Image covers 240 mm x 240 mm, Head
FLAIR MRI.
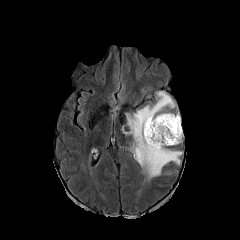
T1-weighted MRI.
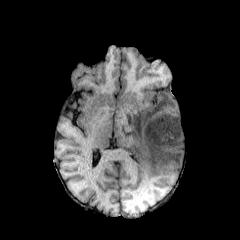
Post-contrast T1-weighted magnetic resonance.
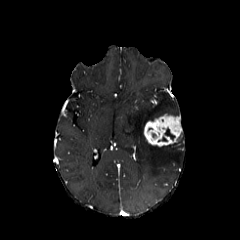
T2-weighted MR image.
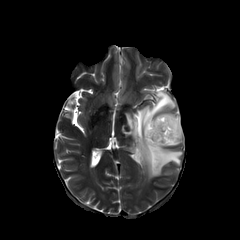
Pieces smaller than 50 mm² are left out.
Annotated regions:
* peritumoral edema: x1=122 y1=91 x2=182 y2=180
* necrotic tumor core: x1=165 y1=128 x2=174 y2=139
* enhancing tumor: x1=143 y1=114 x2=182 y2=146